Axial plane, 240x240 px, Slice index 93
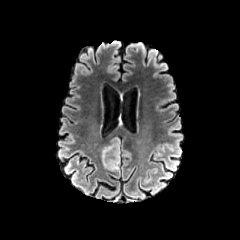
FLAIR magnetic resonance.
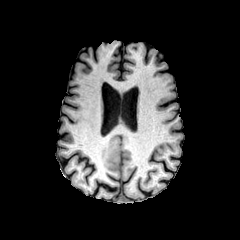
T1-weighted MRI of the same slice.
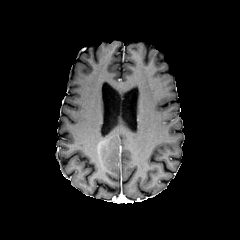
Same slice, post-contrast T1-weighted MRI.
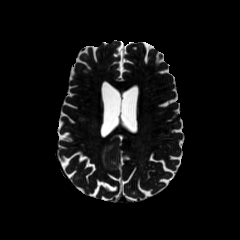
T2-weighted magnetic resonance of the same slice.
peritumoral edema: rect(101, 137, 120, 170)